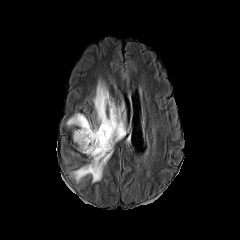
FLAIR MR.
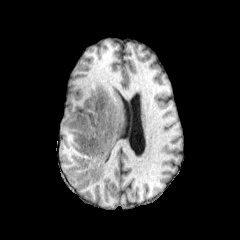
T1-weighted MRI.
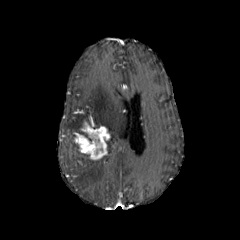
Post-contrast T1-weighted MR.
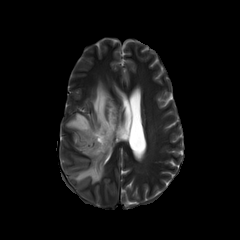
T2-weighted magnetic resonance.
Axial view, 240x240, Head
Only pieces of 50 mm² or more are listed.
{
  "peritumoral_edema": [
    "box(67, 113, 91, 134)",
    "box(73, 81, 125, 182)"
  ],
  "enhancing_tumor": [
    "box(74, 121, 110, 159)"
  ]
}